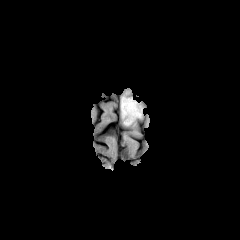
FLAIR MR image.
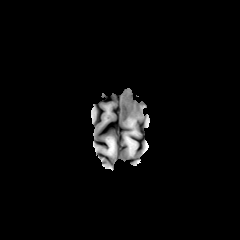
T1-weighted MR image.
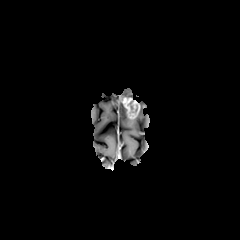
Post-contrast T1-weighted MR image of the same slice.
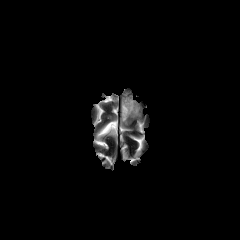
T2-weighted MRI of the same slice.
240x240 px, Head
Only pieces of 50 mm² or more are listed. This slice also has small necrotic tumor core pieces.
peritumoral edema: bounding box (120, 93, 142, 125)
enhancing tumor: bounding box (122, 97, 139, 118)